Head
FLAIR MR.
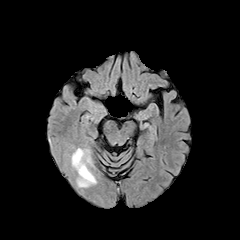
T1-weighted MR.
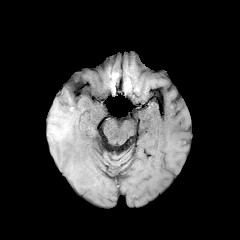
Post-contrast T1-weighted MR.
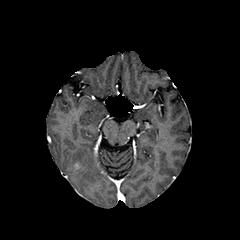
T2-weighted MR image.
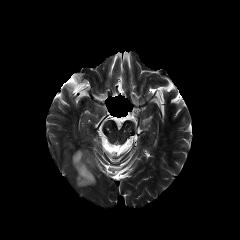
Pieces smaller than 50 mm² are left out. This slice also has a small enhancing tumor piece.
The peritumoral edema is bounded by {"x1": 72, "y1": 149, "x2": 95, "y2": 186}.